Slice 72 of 155.
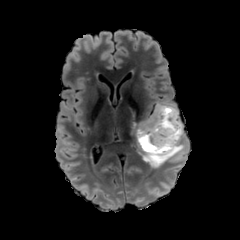
FLAIR magnetic resonance.
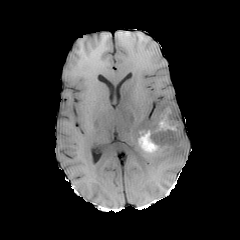
Same slice, T1-weighted MR image.
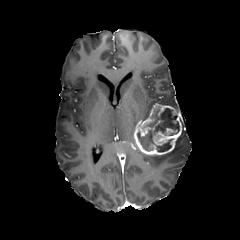
Post-contrast T1-weighted MR image.
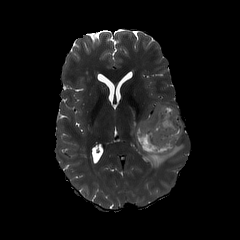
T2-weighted MR image of the same slice.
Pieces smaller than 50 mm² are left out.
The largest peritumoral edema region is bounded by bbox=[139, 130, 185, 168]. The largest enhancing tumor region is located at bbox=[133, 104, 182, 155]. The 2 largest necrotic tumor core regions are located at bbox=[156, 139, 172, 151]; bbox=[137, 107, 179, 150].